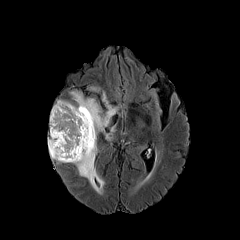
FLAIR MR.
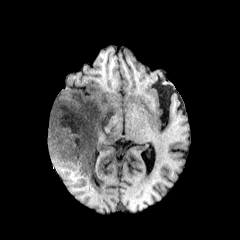
T1-weighted magnetic resonance.
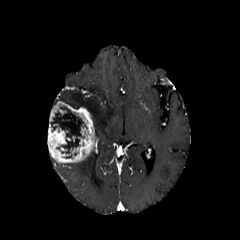
Post-contrast T1-weighted magnetic resonance.
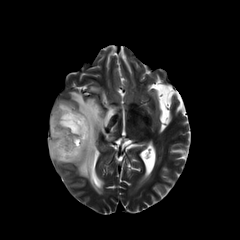
T2-weighted MR.
Image size 240x240, Head
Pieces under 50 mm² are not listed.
peritumoral edema: bounding box [74,150,104,193], [59,91,117,140]
necrotic tumor core: bounding box [50,107,84,158]
enhancing tumor: bounding box [47,100,96,163]